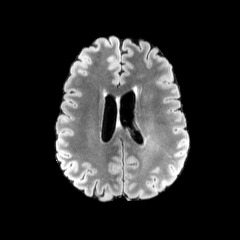
FLAIR magnetic resonance.
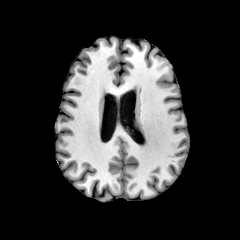
T1-weighted magnetic resonance.
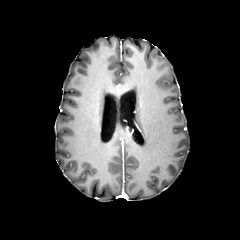
Post-contrast T1-weighted MR.
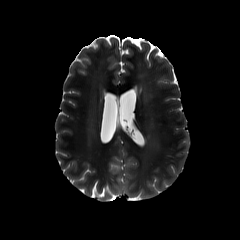
Same slice, T2-weighted magnetic resonance.
Axial view
The peritumoral edema is bounded by [145, 135, 153, 146].